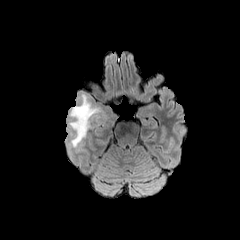
FLAIR MRI.
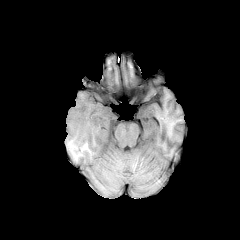
T1-weighted magnetic resonance.
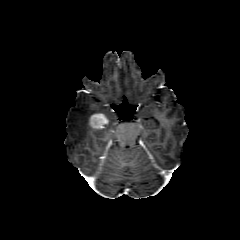
Post-contrast T1-weighted MRI.
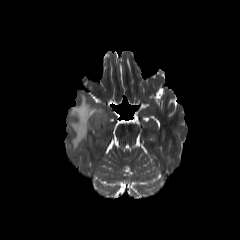
T2-weighted MR.
Axial plane | 240x240 px
peritumoral_edema:
  - [69,94,107,148]
enhancing_tumor:
  - [89,113,108,129]